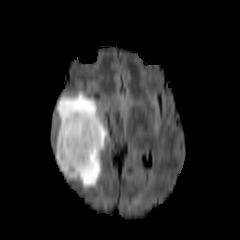
FLAIR MR.
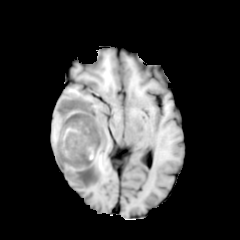
T1-weighted MR image of the same slice.
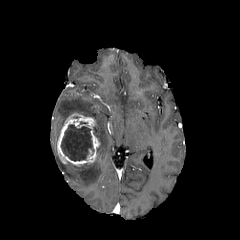
Same slice, post-contrast T1-weighted MR image.
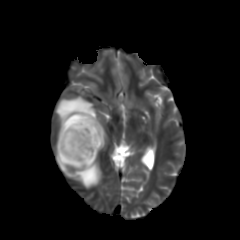
T2-weighted magnetic resonance of the same slice.
Axial slice; Head
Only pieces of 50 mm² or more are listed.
<segmentation>
  <enhancing_tumor>57, 112, 100, 166</enhancing_tumor>
  <necrotic_tumor_core>61, 124, 92, 161</necrotic_tumor_core>
  <peritumoral_edema>58, 117, 107, 187; 57, 92, 96, 132</peritumoral_edema>
</segmentation>